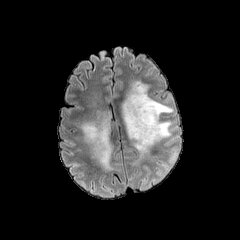
FLAIR MRI.
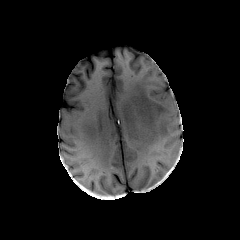
T1-weighted MR image.
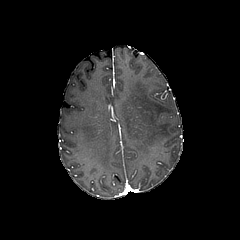
Post-contrast T1-weighted MR.
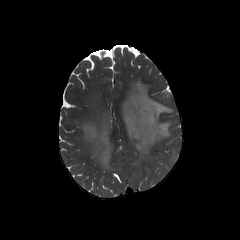
T2-weighted MR.
240x240. Axial plane. Head.
2 peritumoral edema regions are bounded by 122 80 173 158, 80 110 112 170.